Head; 240x240; Axial view; Slice 71 of 155
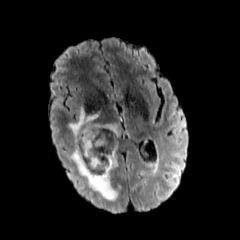
FLAIR MRI.
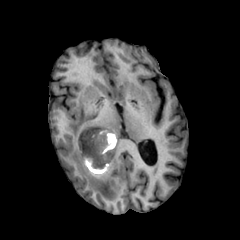
T1-weighted MRI.
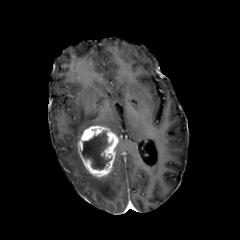
Post-contrast T1-weighted MR image.
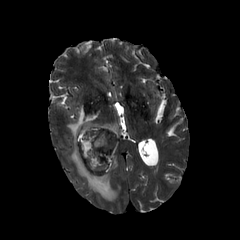
Same slice, T2-weighted magnetic resonance.
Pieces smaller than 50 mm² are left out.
<segmentation>
  <peritumoral_edema>68:107:99:143, 100:124:118:136, 69:145:117:200</peritumoral_edema>
  <enhancing_tumor>77:125:118:177</enhancing_tumor>
  <necrotic_tumor_core>82:131:111:169</necrotic_tumor_core>
</segmentation>